Image width 240 mm
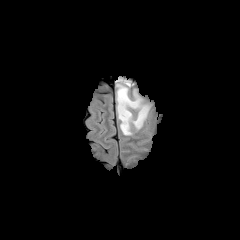
FLAIR MR image.
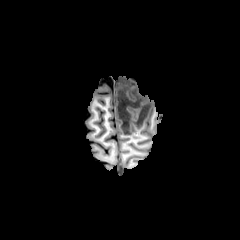
T1-weighted magnetic resonance of the same slice.
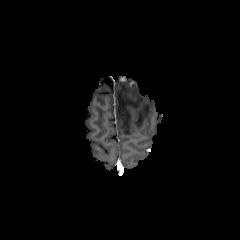
Post-contrast T1-weighted magnetic resonance.
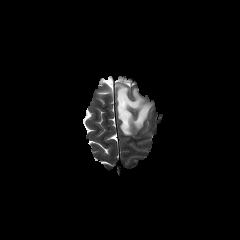
T2-weighted MR.
Findings:
* peritumoral edema: bbox(116, 79, 150, 135)